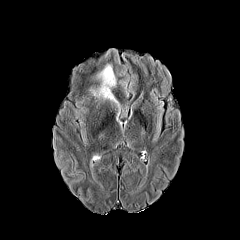
FLAIR magnetic resonance.
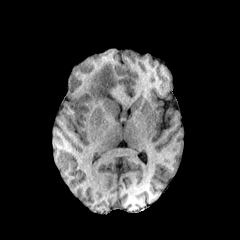
T1-weighted MR image.
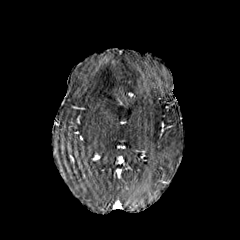
Post-contrast T1-weighted magnetic resonance.
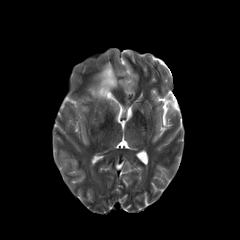
T2-weighted magnetic resonance.
Axial slice | Head
{
  "peritumoral_edema": [
    "box(92, 64, 115, 101)"
  ]
}